FLAIR MRI.
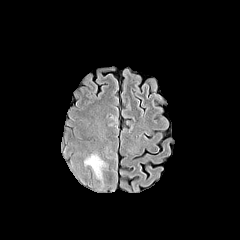
T1-weighted MR.
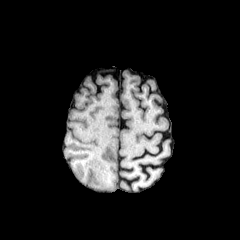
Post-contrast T1-weighted MR image.
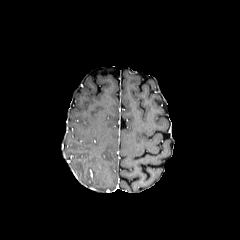
T2-weighted magnetic resonance.
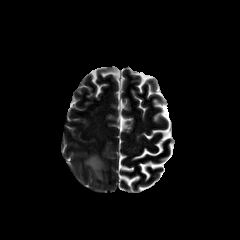
Axial slice
peritumoral edema: bounding box x1=84, y1=154, x2=108, y2=182